240x240. Head.
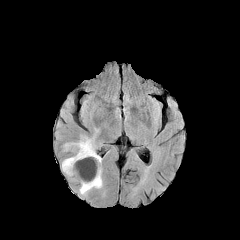
FLAIR MR image.
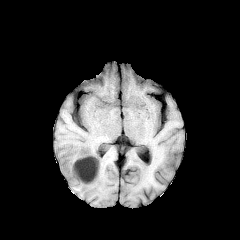
T1-weighted magnetic resonance.
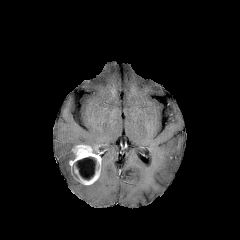
Same slice, post-contrast T1-weighted MR.
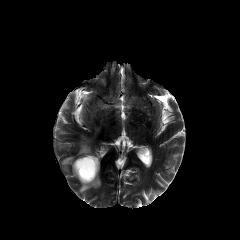
T2-weighted MRI.
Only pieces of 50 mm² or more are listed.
enhancing tumor: box=[69, 145, 101, 185]
peritumoral edema: box=[64, 136, 95, 153]; box=[79, 172, 102, 195]; box=[62, 155, 75, 176]
necrotic tumor core: box=[75, 157, 96, 180]